FLAIR magnetic resonance.
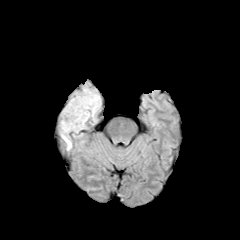
T1-weighted MR image.
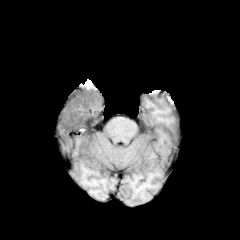
Post-contrast T1-weighted MRI.
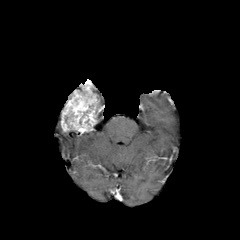
T2-weighted MR image.
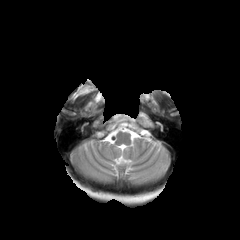
Head
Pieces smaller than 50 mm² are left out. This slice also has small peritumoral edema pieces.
enhancing tumor at box=[61, 84, 101, 134]